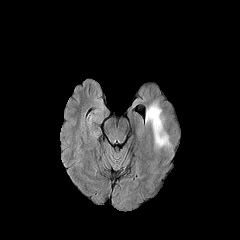
FLAIR MR image.
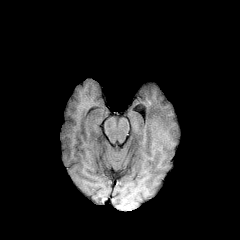
Same slice, T1-weighted MRI.
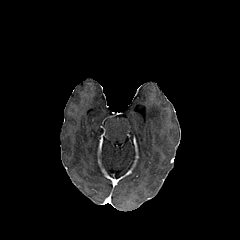
Post-contrast T1-weighted MR.
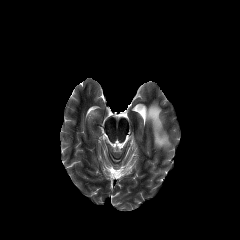
T2-weighted MR.
Brain.
The peritumoral edema is located at (146,102,170,148).